Head. Axial slice.
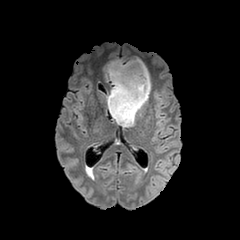
FLAIR magnetic resonance.
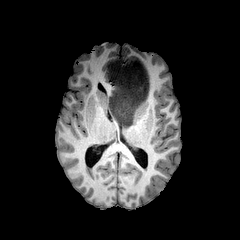
T1-weighted magnetic resonance.
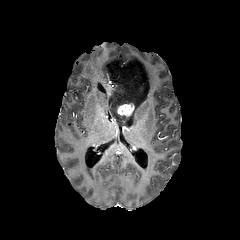
Post-contrast T1-weighted MR image.
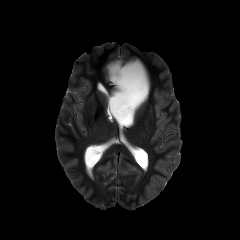
T2-weighted MR.
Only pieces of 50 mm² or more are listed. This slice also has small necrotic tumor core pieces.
{
  "enhancing_tumor": [
    "[x1=117, y1=103, x2=134, y2=116]"
  ],
  "peritumoral_edema": [
    "[x1=103, y1=58, x2=151, y2=127]"
  ]
}